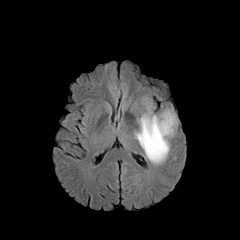
FLAIR MR.
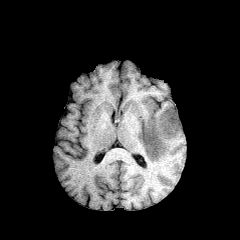
T1-weighted magnetic resonance.
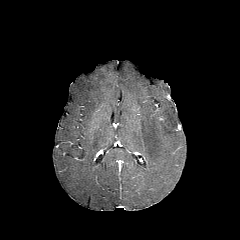
Post-contrast T1-weighted MR image of the same slice.
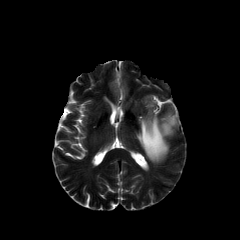
T2-weighted MRI.
Head | Axial plane
- peritumoral edema: 135,109,177,164